FLAIR MR.
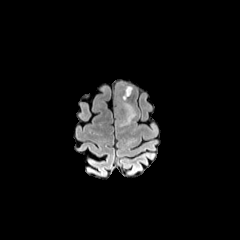
T1-weighted MRI.
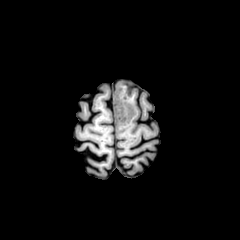
Post-contrast T1-weighted MR.
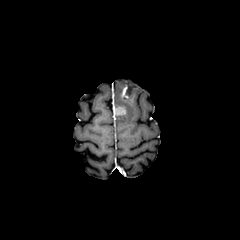
T2-weighted magnetic resonance.
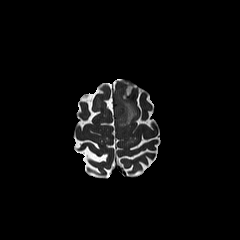
Image size 240x240, Head
{"enhancing_tumor": [{"x1": 115, "y1": 106, "x2": 125, "y2": 115}, {"x1": 121, "y1": 84, "x2": 133, "y2": 99}], "peritumoral_edema": [{"x1": 116, "y1": 95, "x2": 137, "y2": 126}]}